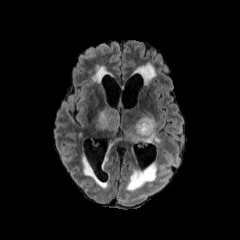
FLAIR magnetic resonance.
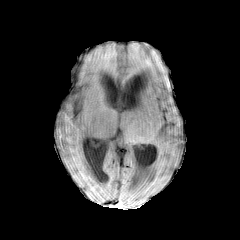
T1-weighted MR.
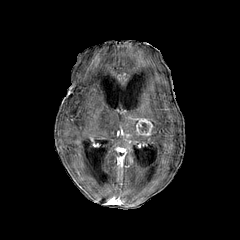
Post-contrast T1-weighted MRI.
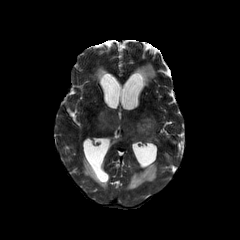
T2-weighted MR.
Axial view | Image size 240x240 | Head
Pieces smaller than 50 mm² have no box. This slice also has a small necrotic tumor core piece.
The largest enhancing tumor region is located at (135,117,152,138). The peritumoral edema appears at (96,107,159,144).